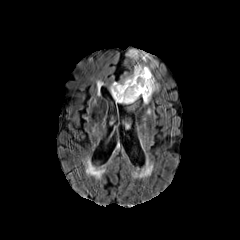
FLAIR MR.
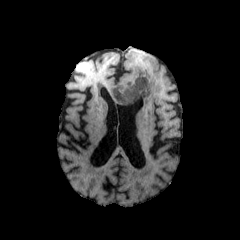
Same slice, T1-weighted MR.
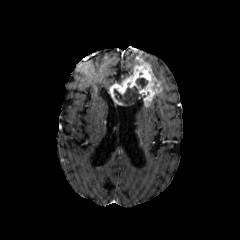
Post-contrast T1-weighted MR.
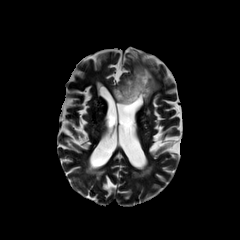
T2-weighted MR.
Brain
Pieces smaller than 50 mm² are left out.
necrotic_tumor_core:
  - (136, 78, 147, 88)
  - (114, 86, 140, 105)
enhancing_tumor:
  - (109, 60, 159, 106)
peritumoral_edema:
  - (127, 51, 157, 69)